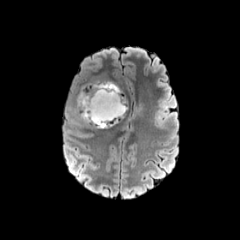
FLAIR MR.
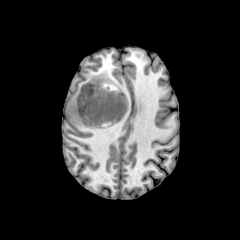
T1-weighted MR.
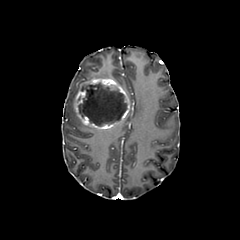
Post-contrast T1-weighted MRI of the same slice.
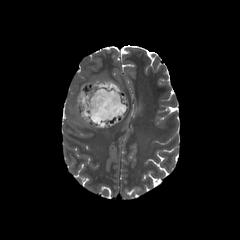
T2-weighted MRI of the same slice.
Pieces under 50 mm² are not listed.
peritumoral edema at bbox(130, 104, 142, 118)
necrotic tumor core at bbox(78, 83, 126, 126)
enhancing tumor at bbox(74, 78, 129, 129)